FLAIR MRI.
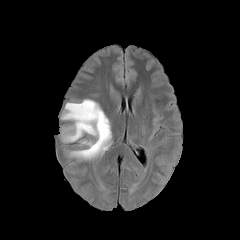
T1-weighted magnetic resonance.
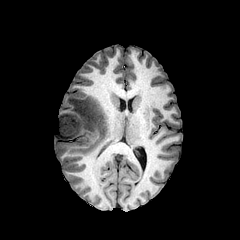
Post-contrast T1-weighted MRI.
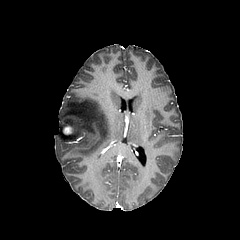
T2-weighted MR.
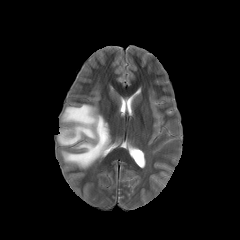
Brain
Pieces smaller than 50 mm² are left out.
The largest peritumoral edema region appears at bbox=[60, 99, 111, 162]. The enhancing tumor appears at bbox=[63, 126, 72, 134].